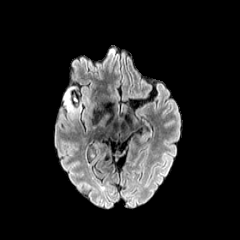
FLAIR MRI.
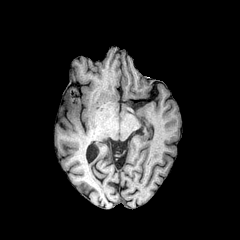
T1-weighted MR.
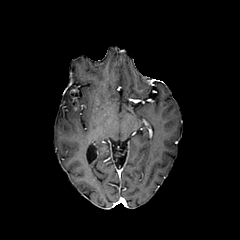
Post-contrast T1-weighted MR image of the same slice.
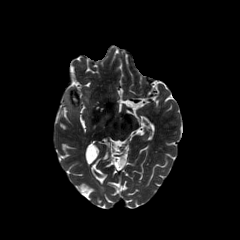
T2-weighted MRI of the same slice.
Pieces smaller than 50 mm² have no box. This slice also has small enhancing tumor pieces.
Findings:
* peritumoral edema: left=64, top=86, right=77, bottom=112